FLAIR MRI.
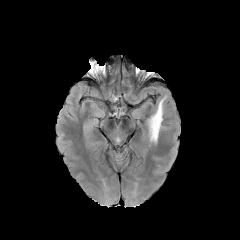
T1-weighted MR.
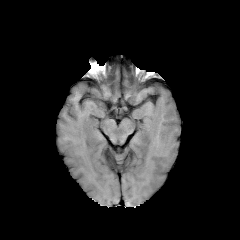
Post-contrast T1-weighted MR image.
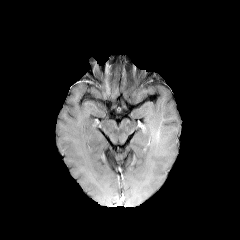
T2-weighted MR image.
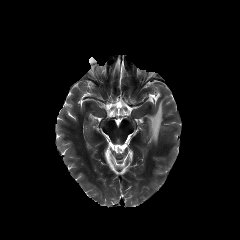
Image size 240x240. Axial plane.
<segmentation>
  <peritumoral_edema>147, 97, 165, 143</peritumoral_edema>
</segmentation>